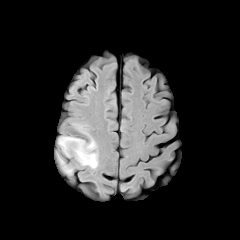
FLAIR MR.
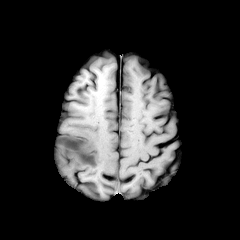
T1-weighted MR image.
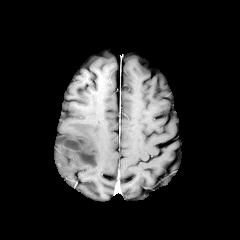
Same slice, post-contrast T1-weighted magnetic resonance.
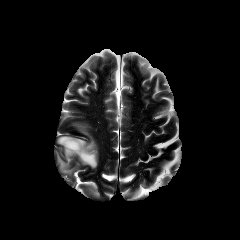
T2-weighted MR.
Axial view, Brain
necrotic_tumor_core:
  - region(64, 139, 80, 149)
enhancing_tumor:
  - region(63, 138, 81, 150)
peritumoral_edema:
  - region(55, 123, 98, 174)